FLAIR MRI.
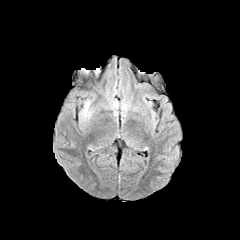
T1-weighted MR.
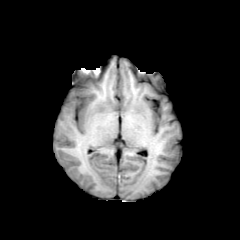
Post-contrast T1-weighted MRI.
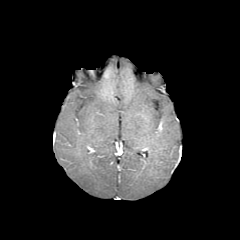
T2-weighted magnetic resonance.
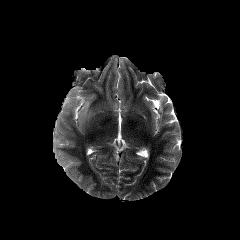
- peritumoral edema: <bbox>81, 101, 91, 118</bbox>